Axial slice, Slice 51/155
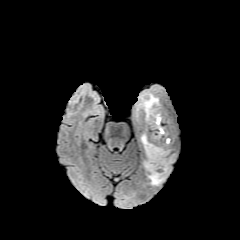
FLAIR MR image.
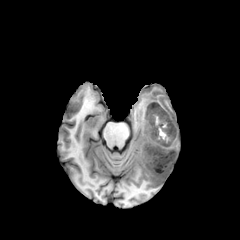
T1-weighted MR image.
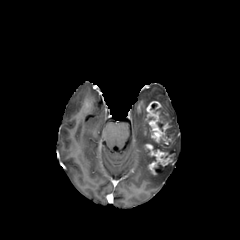
Post-contrast T1-weighted magnetic resonance.
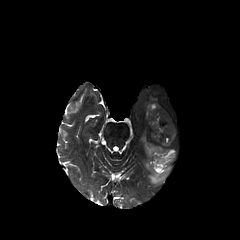
Same slice, T2-weighted MRI.
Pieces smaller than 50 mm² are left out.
Findings:
• enhancing tumor: <box>145,101,169,142</box>, <box>168,130,174,149</box>, <box>144,141,174,174</box>
• peritumoral edema: <box>141,133,148,144</box>, <box>144,156,170,185</box>, <box>143,94,158,113</box>
• necrotic tumor core: <box>150,138,172,158</box>, <box>155,107,172,144</box>